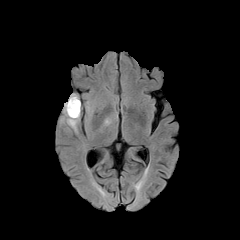
FLAIR MRI.
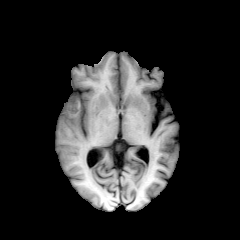
Same slice, T1-weighted MR.
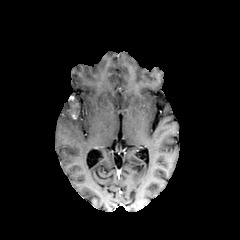
Post-contrast T1-weighted magnetic resonance.
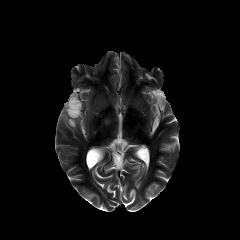
T2-weighted MR image.
240x240
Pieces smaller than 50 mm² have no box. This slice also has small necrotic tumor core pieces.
Annotated regions:
* peritumoral edema: l=64, t=94, r=80, b=129
* enhancing tumor: l=68, t=103, r=77, b=118